FLAIR magnetic resonance.
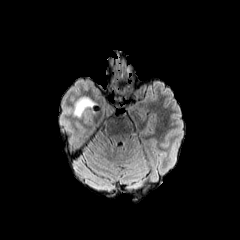
T1-weighted MR image.
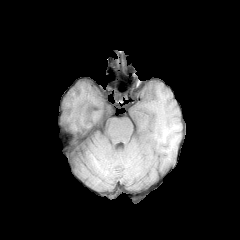
Post-contrast T1-weighted MR.
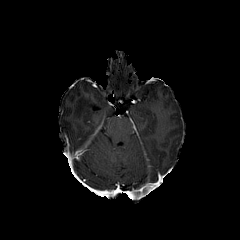
T2-weighted magnetic resonance.
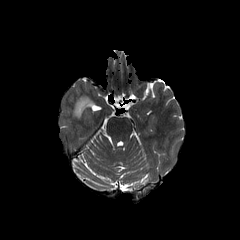
Axial slice.
peritumoral edema: <bbox>74, 97, 97, 117</bbox>